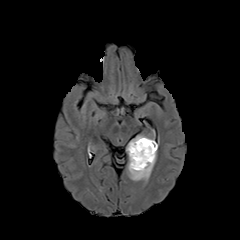
FLAIR MRI.
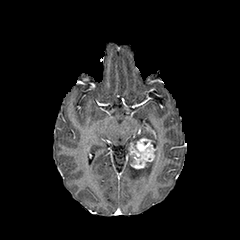
T1-weighted MR of the same slice.
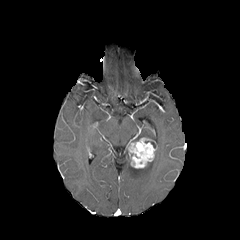
Same slice, post-contrast T1-weighted MRI.
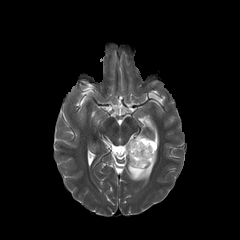
T2-weighted MRI.
Head
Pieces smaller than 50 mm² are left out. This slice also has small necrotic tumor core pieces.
The enhancing tumor is at <box>128,137,156,168</box>. The largest peritumoral edema region appears at <box>127,143,158,181</box>.